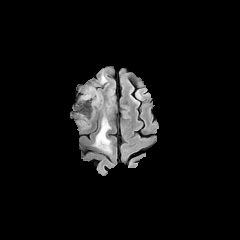
FLAIR magnetic resonance.
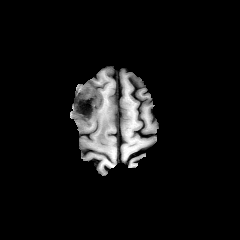
T1-weighted MRI.
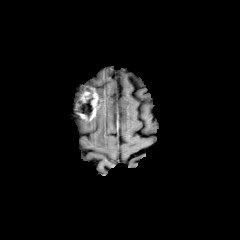
Post-contrast T1-weighted magnetic resonance.
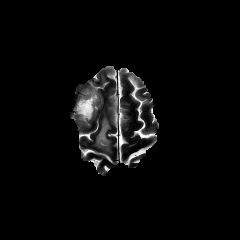
Same slice, T2-weighted MRI.
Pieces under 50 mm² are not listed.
The largest peritumoral edema region is at <bbox>93, 89, 113, 153</bbox>. The enhancing tumor lies within <bbox>74, 85, 100, 120</bbox>. The necrotic tumor core is at <bbox>79, 93, 92, 114</bbox>.